FLAIR MR image.
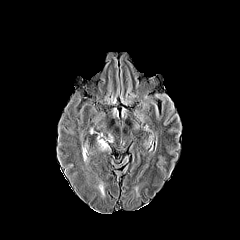
T1-weighted MR.
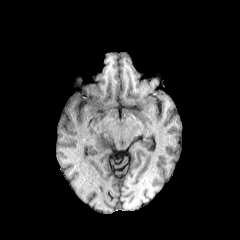
Post-contrast T1-weighted MR.
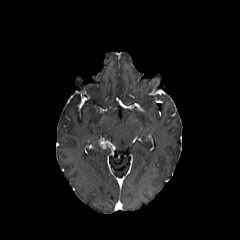
T2-weighted MRI.
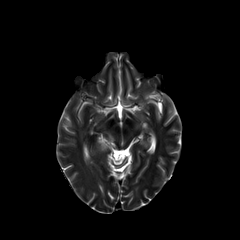
Head. Axial plane.
{
  "peritumoral_edema": [
    "[x1=89, y1=128, x2=112, y2=142]"
  ],
  "enhancing_tumor": [
    "[x1=98, y1=139, x2=106, y2=148]"
  ]
}